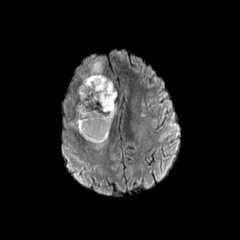
FLAIR MR image.
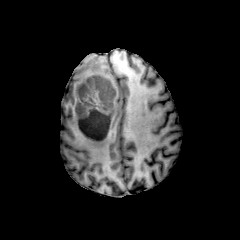
Same slice, T1-weighted MRI.
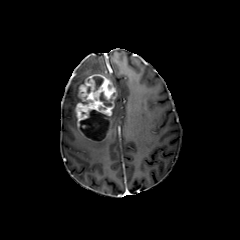
Same slice, post-contrast T1-weighted MR image.
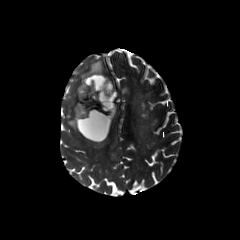
T2-weighted MR of the same slice.
Brain
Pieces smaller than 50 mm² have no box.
peritumoral edema at 90 137 107 147, 69 58 108 104, 69 117 77 129
necrotic tumor core at 80 110 109 140, 99 92 111 105, 92 76 103 90
enhancing tumor at 75 74 116 142